Slice 86 of 155. 240x240 px.
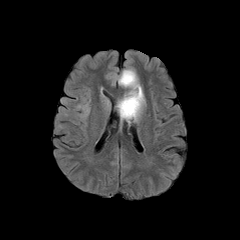
FLAIR magnetic resonance.
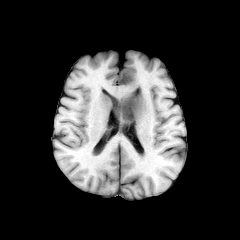
Same slice, T1-weighted MR image.
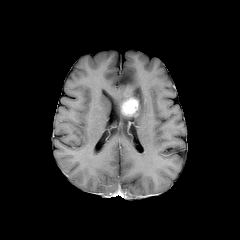
Post-contrast T1-weighted MR image of the same slice.
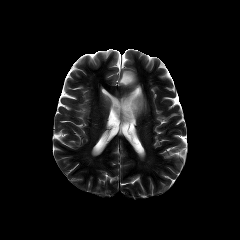
T2-weighted MR.
enhancing tumor at rect(120, 93, 139, 117)
peritumoral edema at rect(117, 69, 145, 121)